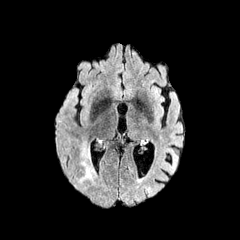
FLAIR MR image.
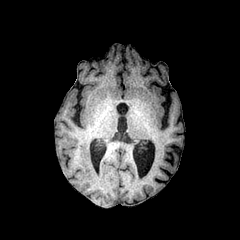
T1-weighted MR image.
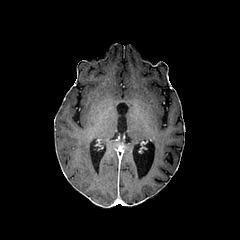
Post-contrast T1-weighted MRI of the same slice.
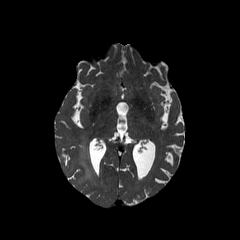
T2-weighted MR image of the same slice.
Brain, Axial view
peritumoral_edema:
  - box(78, 143, 95, 183)